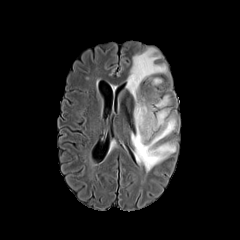
FLAIR magnetic resonance.
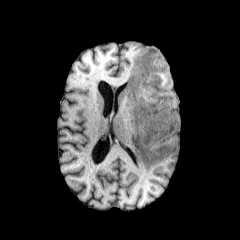
Same slice, T1-weighted MRI.
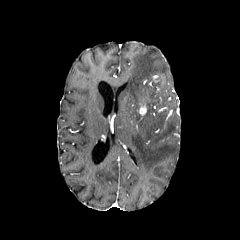
Post-contrast T1-weighted MR image.
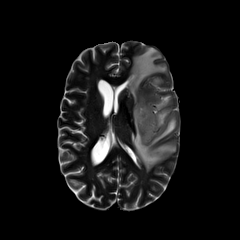
T2-weighted magnetic resonance.
240x240 px | Axial view
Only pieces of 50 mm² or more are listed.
enhancing tumor: 139, 104, 146, 115 | peritumoral edema: 155, 95, 169, 108; 126, 48, 176, 172